FLAIR MRI.
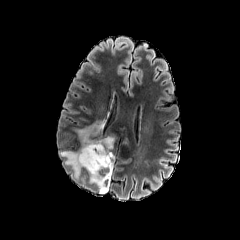
T1-weighted MRI.
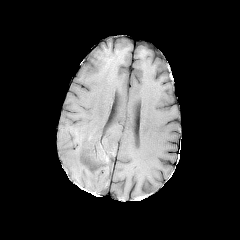
Post-contrast T1-weighted MR.
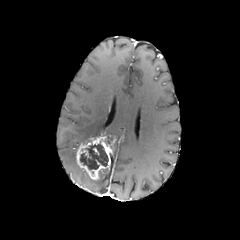
T2-weighted MR image.
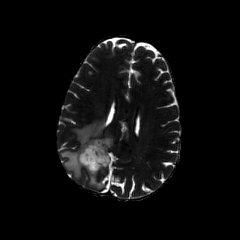
Brain. 240x240 px.
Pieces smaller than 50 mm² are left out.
Annotated regions:
• enhancing tumor: x1=76, y1=134, x2=115, y2=180
• peritumoral edema: x1=75, y1=121, x2=104, y2=143; x1=60, y1=151, x2=81, y2=178; x1=90, y1=155, x2=114, y2=186
• necrotic tumor core: x1=80, y1=144, x2=108, y2=169